Brain | Axial plane | Slice index 104
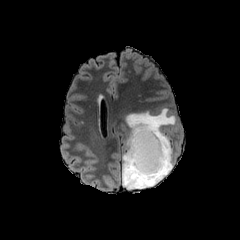
FLAIR MR image.
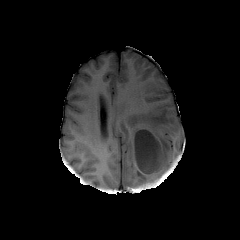
Same slice, T1-weighted MR image.
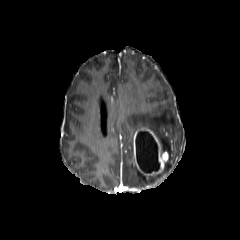
Post-contrast T1-weighted MR image.
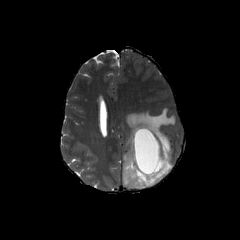
T2-weighted MRI.
enhancing tumor: <bbox>133, 128, 168, 176</bbox> | necrotic tumor core: <bbox>135, 131, 160, 173</bbox> | peritumoral edema: <bbox>122, 108, 176, 188</bbox>